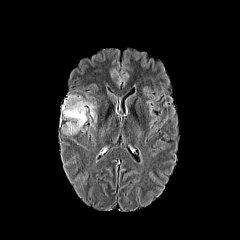
FLAIR MR.
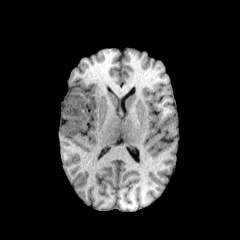
T1-weighted MR image.
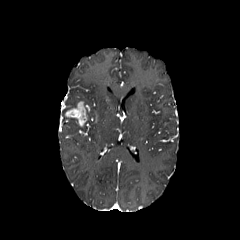
Same slice, post-contrast T1-weighted magnetic resonance.
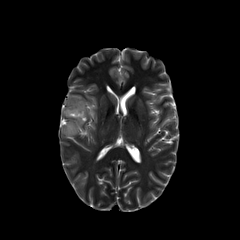
T2-weighted magnetic resonance.
Axial plane
enhancing_tumor:
  - rect(65, 101, 87, 126)
peritumoral_edema:
  - rect(63, 95, 95, 135)